FLAIR MR image.
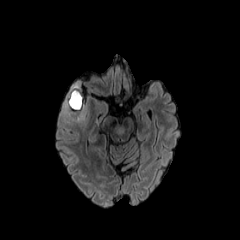
T1-weighted MRI.
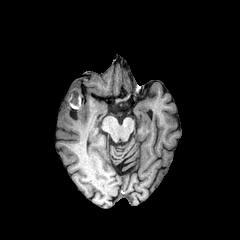
Post-contrast T1-weighted MR image.
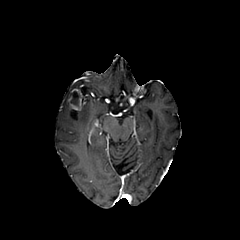
T2-weighted magnetic resonance.
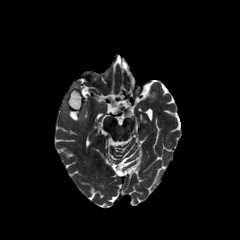
Axial view.
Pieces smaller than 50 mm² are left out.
{
  "necrotic_tumor_core": [
    "bbox=[70, 91, 79, 106]"
  ],
  "enhancing_tumor": [
    "bbox=[68, 89, 82, 110]"
  ],
  "peritumoral_edema": [
    "bbox=[76, 107, 84, 121]",
    "bbox=[63, 100, 69, 115]"
  ]
}